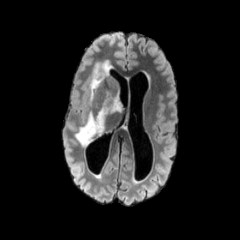
FLAIR MR image.
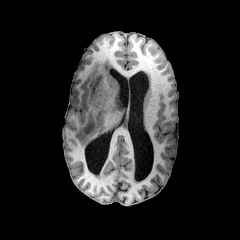
T1-weighted MR image.
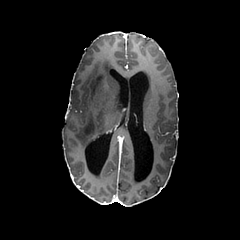
Same slice, post-contrast T1-weighted MR image.
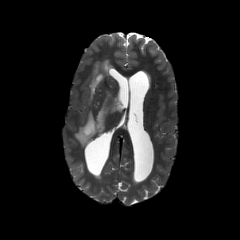
T2-weighted MR.
Head | Axial view
<segmentation>
  <peritumoral_edema>x1=75, y1=92, x2=121, y2=146; x1=89, y1=60, x2=112, y2=103</peritumoral_edema>
</segmentation>